FLAIR MR image.
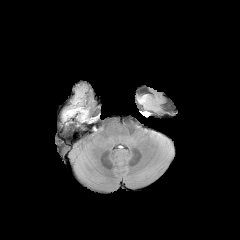
T1-weighted MRI.
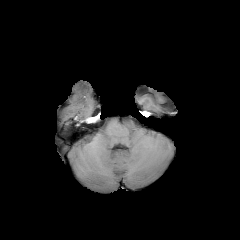
Post-contrast T1-weighted MRI.
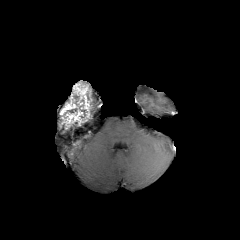
T2-weighted magnetic resonance.
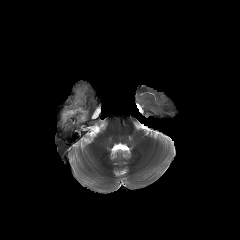
240x240 px
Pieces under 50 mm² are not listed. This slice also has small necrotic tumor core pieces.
{
  "enhancing_tumor": [
    "60,83,91,128"
  ]
}